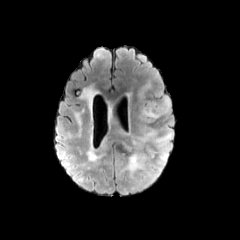
FLAIR MRI.
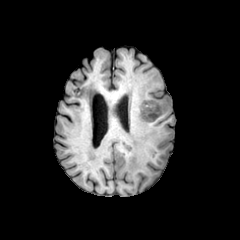
T1-weighted MR of the same slice.
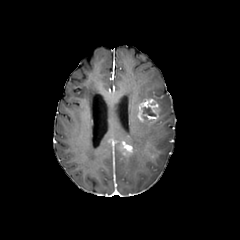
Post-contrast T1-weighted MR.
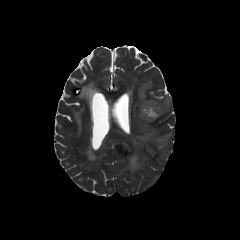
T2-weighted magnetic resonance.
240x240 px. Head.
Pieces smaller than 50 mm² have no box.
The 4 largest peritumoral edema regions are bounded by x1=124 y1=153 x2=145 y2=174, x1=133 y1=121 x2=171 y2=145, x1=158 y1=96 x2=170 y2=116, x1=146 y1=146 x2=155 y2=157. The largest necrotic tumor core region is bounded by x1=143 y1=107 x2=155 y2=116. 2 enhancing tumor regions are located at x1=122 y1=142 x2=131 y2=151, x1=137 y1=98 x2=160 y2=122.